Axial plane, Slice 77 of 155, 240x240 px, Image width 240 mm, 1.00 mm slice spacing
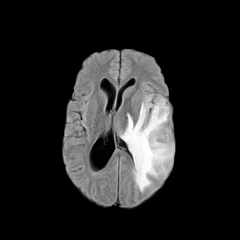
FLAIR magnetic resonance.
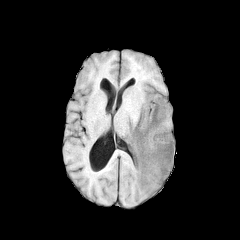
Same slice, T1-weighted MR.
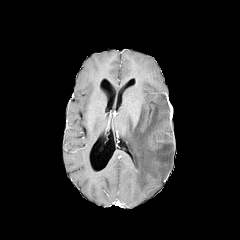
Same slice, post-contrast T1-weighted MR.
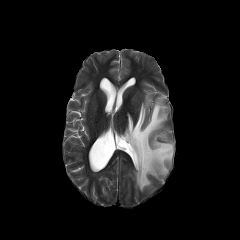
T2-weighted MR image.
peritumoral edema = <box>120,95,173,191</box>